Axial slice. Slice 29 of 155. 240x240 px.
FLAIR magnetic resonance.
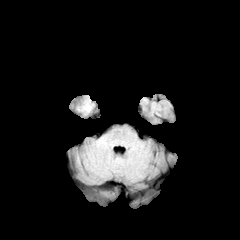
T1-weighted magnetic resonance.
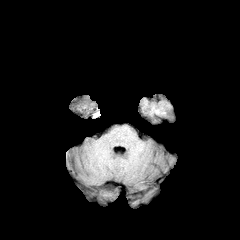
Post-contrast T1-weighted MR image.
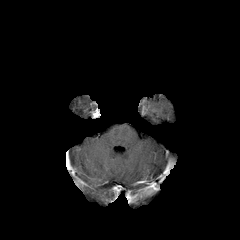
T2-weighted MR.
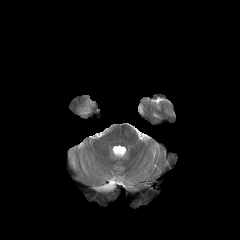
peritumoral edema: (x1=84, y1=99, x2=91, y2=111)